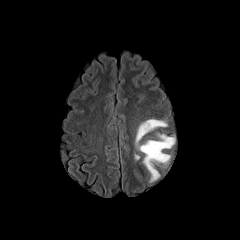
FLAIR MR.
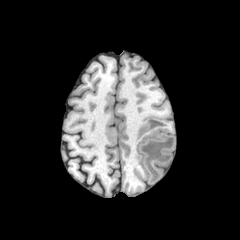
Same slice, T1-weighted MR.
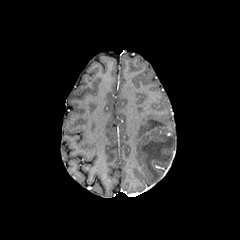
Same slice, post-contrast T1-weighted MRI.
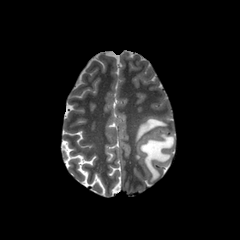
T2-weighted MR image.
Head
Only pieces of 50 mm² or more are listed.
- peritumoral edema: 135, 119, 174, 181